Axial slice. Slice 117/155.
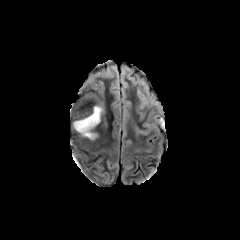
FLAIR MRI.
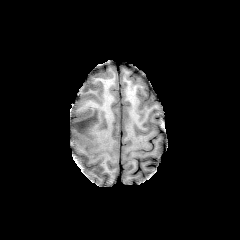
T1-weighted magnetic resonance of the same slice.
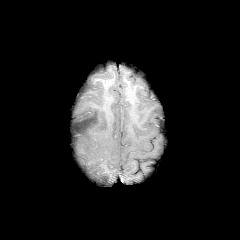
Post-contrast T1-weighted magnetic resonance.
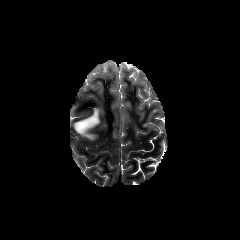
Same slice, T2-weighted MR image.
enhancing tumor = (83, 119, 100, 140)
peritumoral edema = (73, 106, 103, 136)